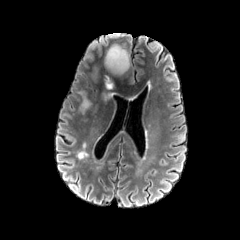
FLAIR MRI.
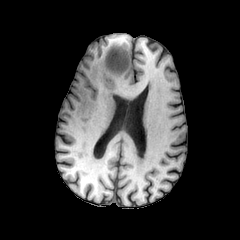
T1-weighted magnetic resonance of the same slice.
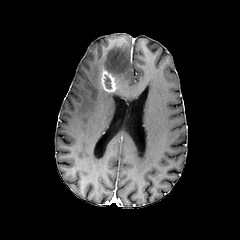
Post-contrast T1-weighted MR image of the same slice.
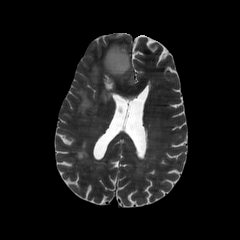
T2-weighted MRI.
Image size 240x240. Head.
{
  "peritumoral_edema": [
    "102:90:113:102",
    "105:45:129:76",
    "78:91:91:113"
  ],
  "necrotic_tumor_core": [
    "105:75:111:88"
  ],
  "enhancing_tumor": [
    "101:69:116:92"
  ]
}